Brain
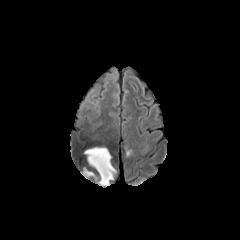
FLAIR MR image.
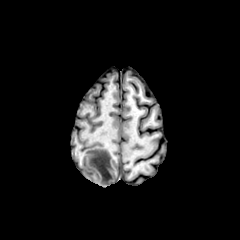
T1-weighted MR image.
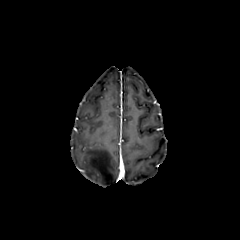
Same slice, post-contrast T1-weighted MR image.
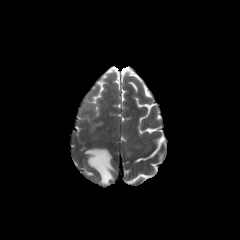
Same slice, T2-weighted MR.
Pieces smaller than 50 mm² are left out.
Annotated regions:
* peritumoral edema: box=[85, 148, 115, 185]